FLAIR magnetic resonance.
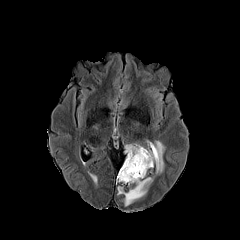
T1-weighted MRI.
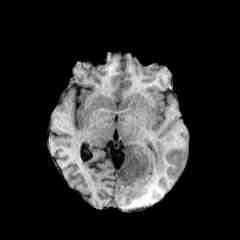
Post-contrast T1-weighted MR.
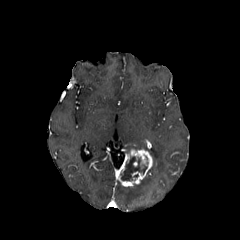
T2-weighted MRI.
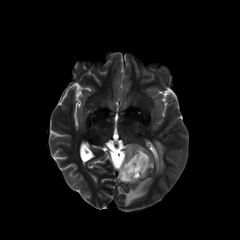
Image size 240x240; Axial slice
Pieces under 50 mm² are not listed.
Segmented structures:
- necrotic tumor core: (x1=121, y1=157, x2=146, y2=180)
- enhancing tumor: (x1=116, y1=148, x2=152, y2=186)
- peritumoral edema: (x1=117, y1=177, x2=152, y2=205), (x1=148, y1=141, x2=164, y2=173), (x1=126, y1=144, x2=144, y2=152)